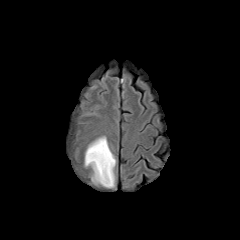
FLAIR MRI.
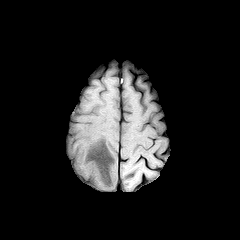
Same slice, T1-weighted MR.
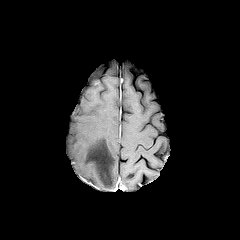
Post-contrast T1-weighted magnetic resonance of the same slice.
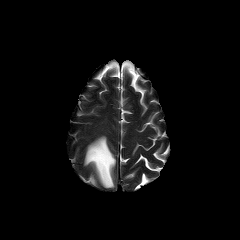
T2-weighted MRI of the same slice.
240x240 px | Head | Axial view
The peritumoral edema is bounded by 84 136 115 187.